Image width 240 mm, 1.00 mm slice spacing
FLAIR MR image.
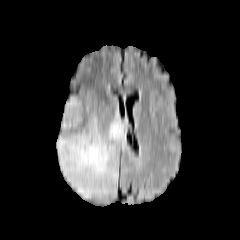
T1-weighted magnetic resonance.
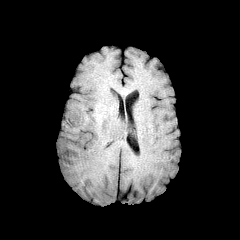
Post-contrast T1-weighted MR image.
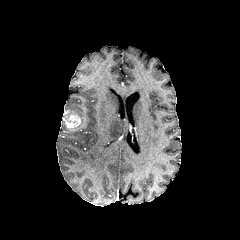
T2-weighted MR image.
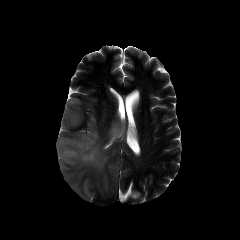
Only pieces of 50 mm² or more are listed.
The 2 largest peritumoral edema regions are bounded by 64 97 83 122, 56 113 126 199. The enhancing tumor appears at 63 110 81 129.